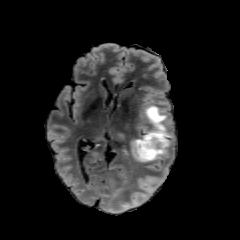
FLAIR MR image.
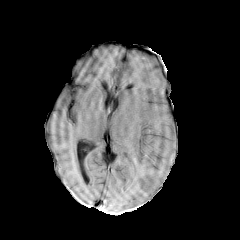
T1-weighted magnetic resonance.
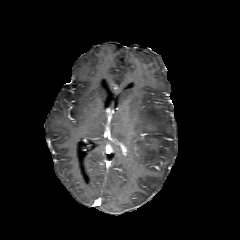
Same slice, post-contrast T1-weighted magnetic resonance.
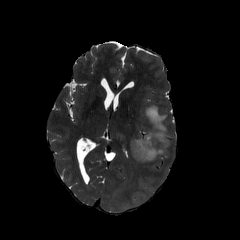
T2-weighted MR image of the same slice.
Brain.
peritumoral_edema:
  - bbox=[132, 105, 170, 161]
enhancing_tumor:
  - bbox=[133, 137, 157, 155]